Slice 46/155; Axial view
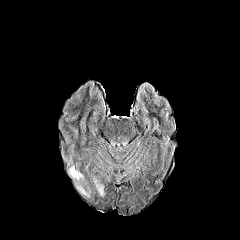
FLAIR MR image.
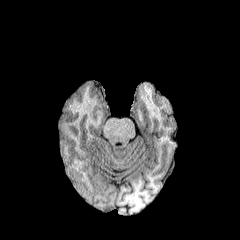
T1-weighted magnetic resonance.
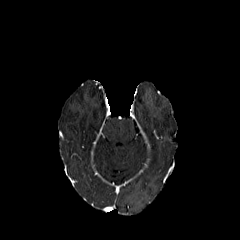
Same slice, post-contrast T1-weighted MR image.
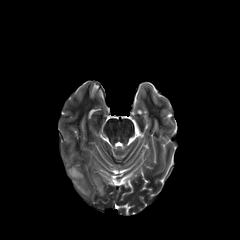
Same slice, T2-weighted MR image.
Segmented structures:
* peritumoral edema: x1=69, y1=166, x2=82, y2=179; x1=77, y1=185, x2=88, y2=195; x1=95, y1=180, x2=103, y2=195